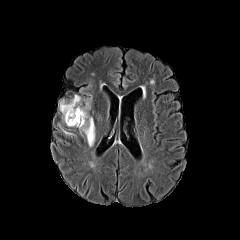
FLAIR magnetic resonance.
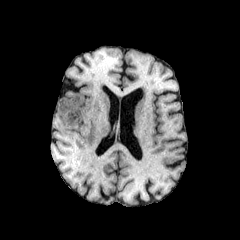
T1-weighted magnetic resonance.
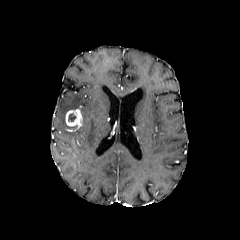
Same slice, post-contrast T1-weighted magnetic resonance.
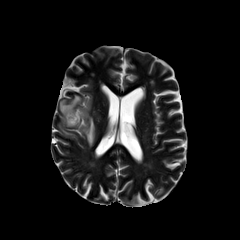
Same slice, T2-weighted MRI.
Axial plane, Head, Image size 240x240
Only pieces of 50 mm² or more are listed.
The enhancing tumor appears at 65, 109, 82, 128. The 2 largest peritumoral edema regions are located at 59, 94, 95, 147; 58, 124, 75, 136. The necrotic tumor core is at 68, 113, 76, 121.